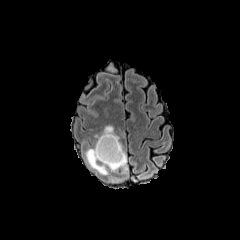
FLAIR MR image.
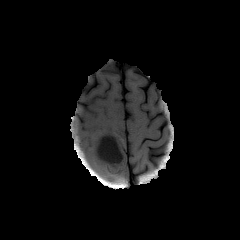
Same slice, T1-weighted magnetic resonance.
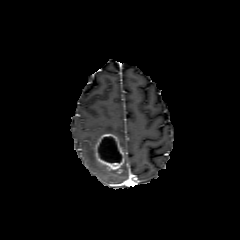
Post-contrast T1-weighted magnetic resonance.
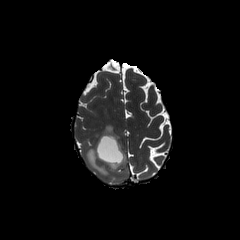
Same slice, T2-weighted MRI.
Brain; Axial slice
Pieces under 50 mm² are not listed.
necrotic tumor core = 98, 136, 122, 162
enhancing tumor = 94, 133, 125, 170
peritumoral edema = 85, 147, 116, 175; 119, 155, 127, 172; 94, 125, 119, 139